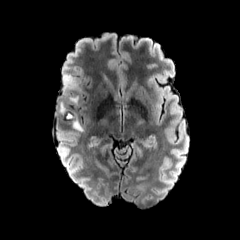
FLAIR MR.
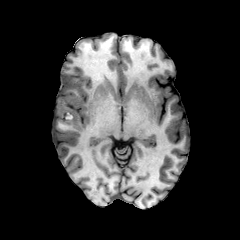
T1-weighted magnetic resonance.
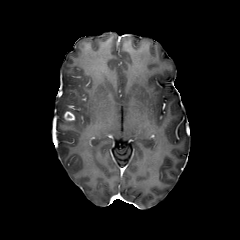
Same slice, post-contrast T1-weighted magnetic resonance.
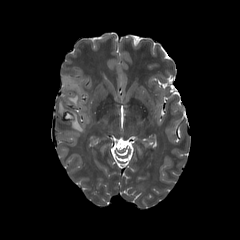
T2-weighted MRI of the same slice.
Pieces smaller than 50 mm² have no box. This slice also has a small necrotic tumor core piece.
peritumoral edema at (69, 96, 78, 103), (72, 119, 82, 131), (62, 73, 76, 89)
enhancing tumor at (64, 112, 74, 120)